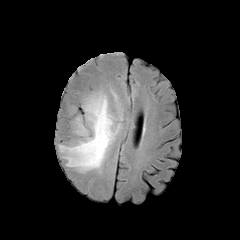
FLAIR magnetic resonance.
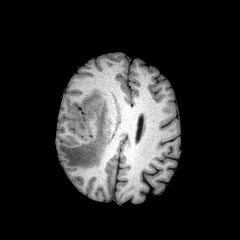
Same slice, T1-weighted MR.
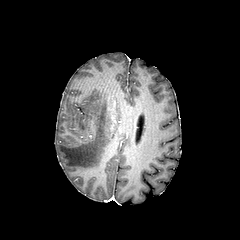
Post-contrast T1-weighted MR.
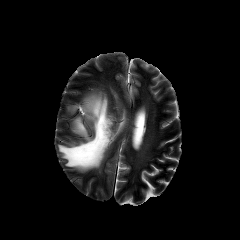
T2-weighted MRI.
Head | 240x240
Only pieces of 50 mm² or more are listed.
peritumoral edema: bounding box 58 92 120 172